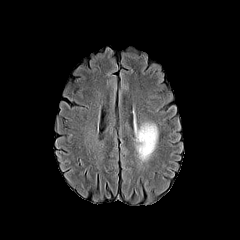
FLAIR MR.
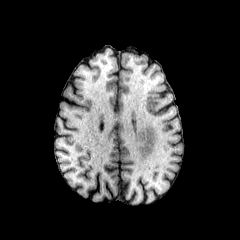
T1-weighted magnetic resonance of the same slice.
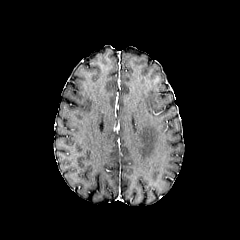
Post-contrast T1-weighted MRI.
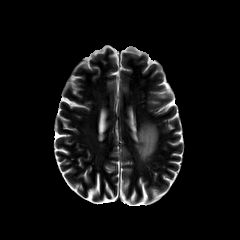
Same slice, T2-weighted MRI.
240x240; Head
{"peritumoral_edema": ["136, 123, 157, 161"]}